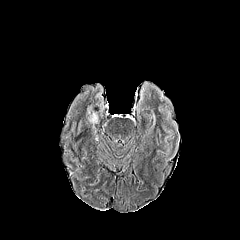
FLAIR MR image.
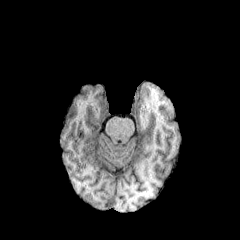
T1-weighted MR of the same slice.
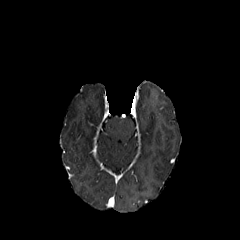
Post-contrast T1-weighted MR image.
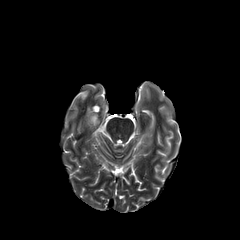
T2-weighted MR.
Head
peritumoral edema: bounding box 89:113:97:123